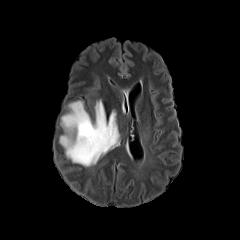
FLAIR MR image.
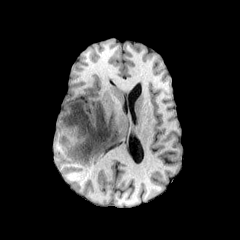
T1-weighted MRI.
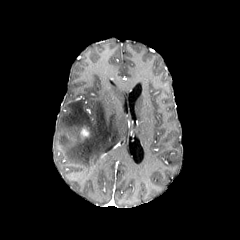
Post-contrast T1-weighted magnetic resonance.
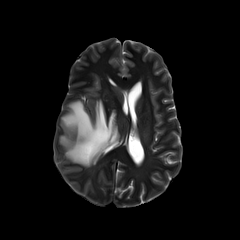
T2-weighted magnetic resonance.
Image size 240x240
{
  "peritumoral_edema": [
    "x1=60 y1=100 x2=119 y2=166"
  ],
  "enhancing_tumor": [
    "x1=80 y1=128 x2=89 y2=139"
  ]
}